FLAIR MRI.
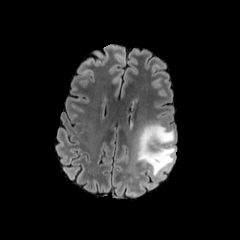
T1-weighted MRI.
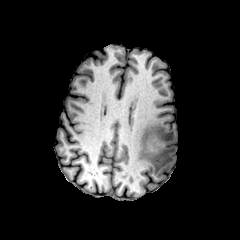
Post-contrast T1-weighted MR image.
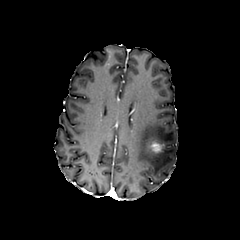
T2-weighted MR image.
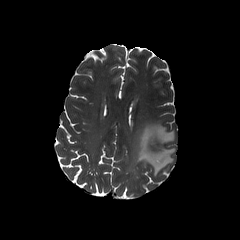
Axial view
The enhancing tumor appears at {"x1": 150, "y1": 141, "x2": 161, "y2": 153}. The peritumoral edema is at {"x1": 136, "y1": 123, "x2": 176, "y2": 175}.